FLAIR MRI.
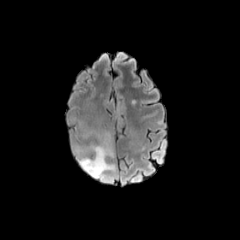
T1-weighted MR image.
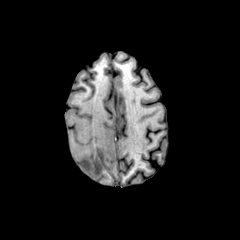
Post-contrast T1-weighted MR image.
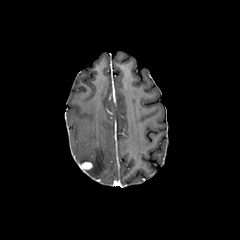
T2-weighted MR image.
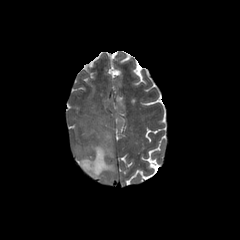
240x240 px; Head; Axial plane
peritumoral edema = 75:131:116:182
enhancing tumor = 80:161:92:171